FLAIR magnetic resonance.
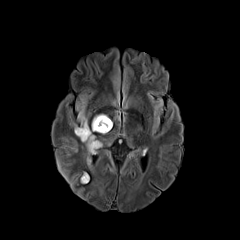
T1-weighted MRI.
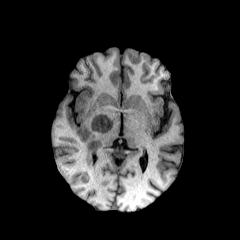
Post-contrast T1-weighted MR.
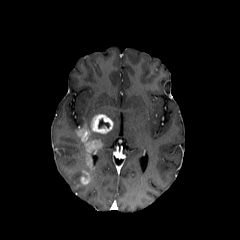
T2-weighted magnetic resonance.
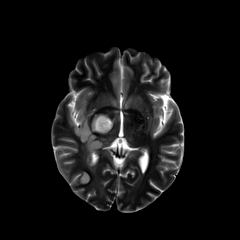
Image size 240x240. Head.
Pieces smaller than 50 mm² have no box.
<segmentation>
  <peritumoral_edema><box>78,110,89,129</box></peritumoral_edema>
  <enhancing_tumor><box>81,172,89,183</box>, <box>76,124,102,168</box>, <box>90,114,112,133</box></enhancing_tumor>
  <necrotic_tumor_core><box>98,118,109,128</box></necrotic_tumor_core>
</segmentation>